Slice index 110
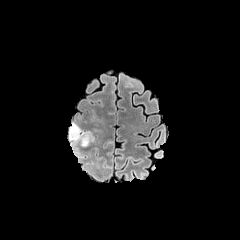
FLAIR MRI.
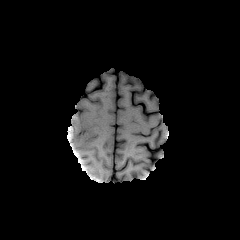
T1-weighted MRI.
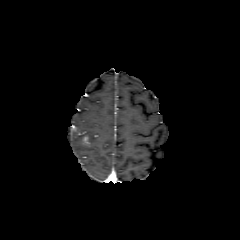
Same slice, post-contrast T1-weighted MR image.
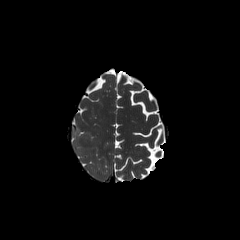
T2-weighted MR.
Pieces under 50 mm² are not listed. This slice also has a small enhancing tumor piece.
peritumoral edema — (left=69, top=124, right=92, bottom=147)